Image width 240 mm | Axial slice | Slice index 79
FLAIR MR.
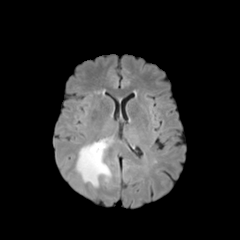
T1-weighted MR image.
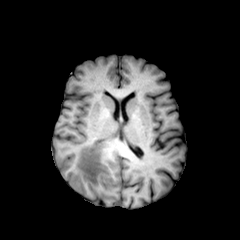
Post-contrast T1-weighted MRI.
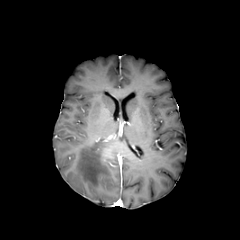
T2-weighted MR.
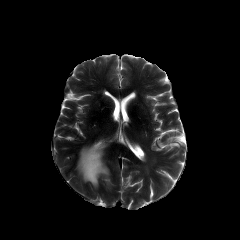
{
  "peritumoral_edema": [
    "[76, 138, 111, 187]"
  ]
}